FLAIR MR image.
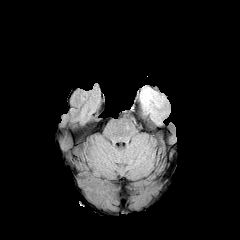
T1-weighted MRI.
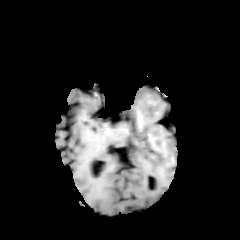
Post-contrast T1-weighted MR.
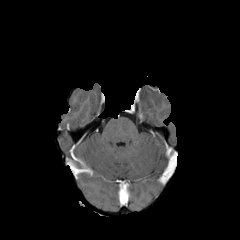
T2-weighted MR.
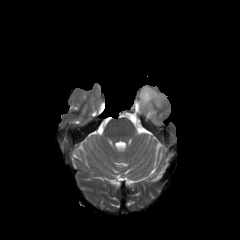
Head.
peritumoral edema — 139,86,164,117